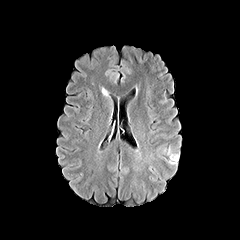
FLAIR MRI.
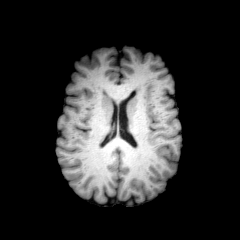
Same slice, T1-weighted MR.
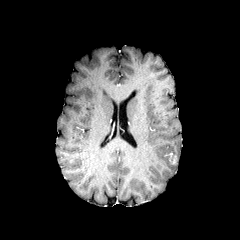
Same slice, post-contrast T1-weighted MRI.
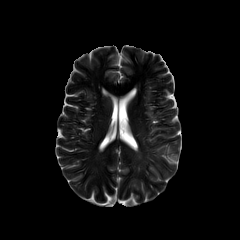
T2-weighted MR.
Image size 240x240 | Axial slice | Brain
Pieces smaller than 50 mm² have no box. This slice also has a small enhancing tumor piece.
peritumoral_edema:
  - [163, 147, 178, 164]